Axial plane, Brain, Image size 240x240
FLAIR MRI.
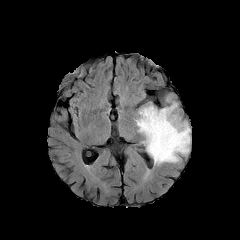
T1-weighted magnetic resonance.
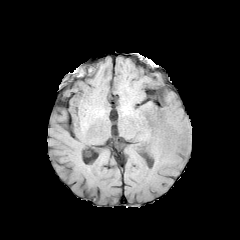
Post-contrast T1-weighted MR image.
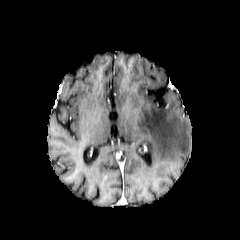
T2-weighted MRI.
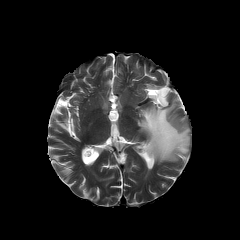
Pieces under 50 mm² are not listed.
peritumoral edema: <box>136,101,190,164</box>